240x240 px. Head.
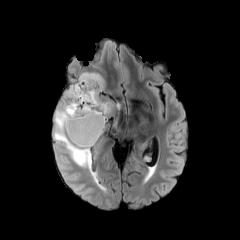
FLAIR magnetic resonance.
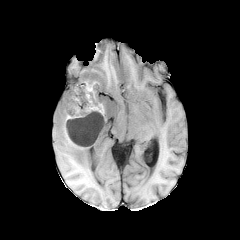
T1-weighted MR.
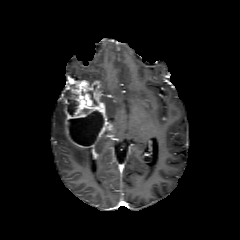
Same slice, post-contrast T1-weighted magnetic resonance.
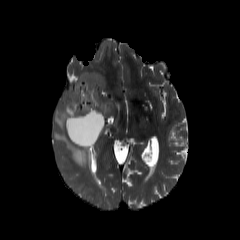
T2-weighted MR image.
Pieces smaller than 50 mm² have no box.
Segmented structures:
• necrotic tumor core: (67,111,103,146), (67,93,77,115)
• enhancing tumor: (64,78,109,148)
• peritumoral edema: (104,101,112,114), (53,89,92,169), (75,72,103,89)